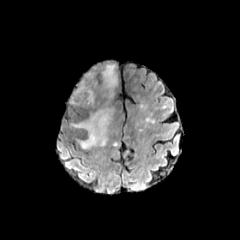
FLAIR MR.
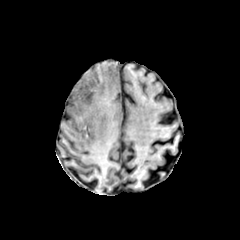
T1-weighted MR image.
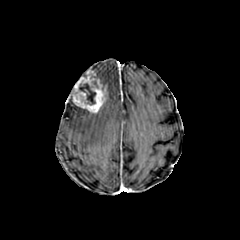
Same slice, post-contrast T1-weighted MR.
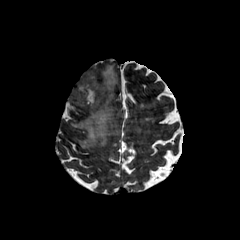
T2-weighted magnetic resonance.
Axial slice. Head.
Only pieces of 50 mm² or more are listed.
necrotic tumor core: x1=79, y1=83, x2=95, y2=104 | enhancing tumor: x1=71, y1=70, x2=106, y2=113 | peritumoral edema: x1=72, y1=106, x2=113, y2=148; x1=102, y1=64, x2=117, y2=97